Slice 56/155; Brain; 240x240 px
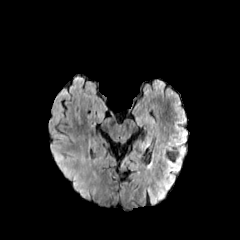
FLAIR magnetic resonance.
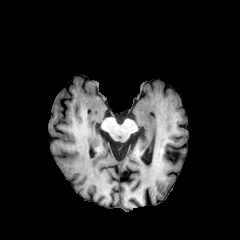
T1-weighted MR image of the same slice.
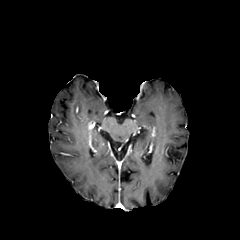
Same slice, post-contrast T1-weighted magnetic resonance.
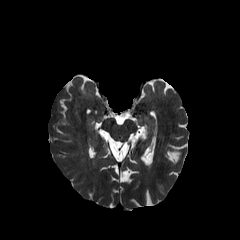
T2-weighted magnetic resonance.
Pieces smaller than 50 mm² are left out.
peritumoral_edema:
  - (50, 126, 92, 200)